Axial slice. Slice 67 of 155.
FLAIR MR.
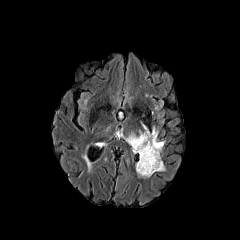
T1-weighted MR.
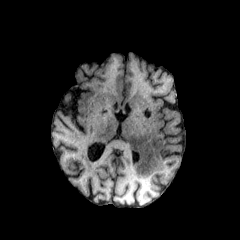
Post-contrast T1-weighted magnetic resonance.
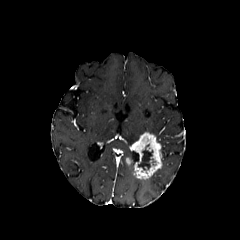
T2-weighted magnetic resonance.
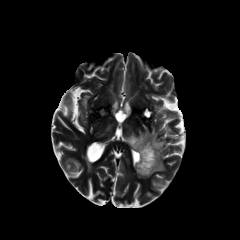
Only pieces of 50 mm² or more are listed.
enhancing tumor — [130, 132, 162, 179]
necrotic tumor core — [138, 149, 153, 170]
peritumoral edema — [125, 132, 139, 145]